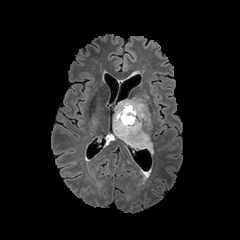
FLAIR MRI.
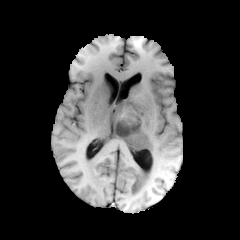
T1-weighted MRI of the same slice.
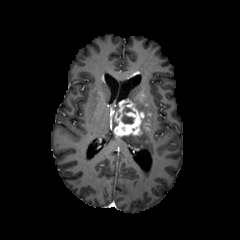
Post-contrast T1-weighted MR.
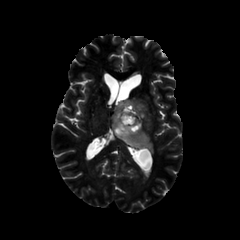
Same slice, T2-weighted MR image.
Axial view
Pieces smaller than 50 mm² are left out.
enhancing tumor — [x1=114, y1=100, x2=143, y2=136]
necrotic tumor core — [x1=120, y1=110, x2=134, y2=124]
peritumoral edema — [x1=111, y1=103, x2=119, y2=133], [x1=117, y1=94, x2=153, y2=152]